Image width 240 mm, 1.00 mm slice spacing; 240x240
FLAIR MR image.
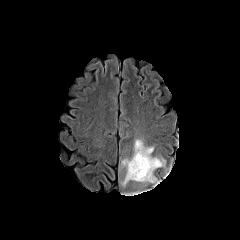
T1-weighted magnetic resonance.
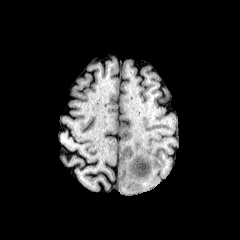
Post-contrast T1-weighted MR image.
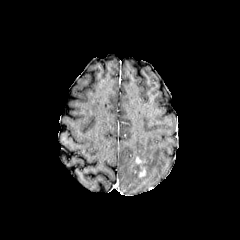
T2-weighted MR image.
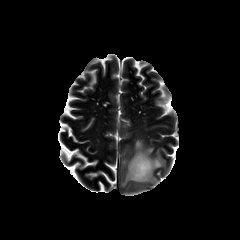
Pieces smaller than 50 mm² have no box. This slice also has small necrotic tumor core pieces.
Findings:
• peritumoral edema: x1=121, y1=139, x2=165, y2=186
• enhancing tumor: x1=135, y1=156, x2=146, y2=177